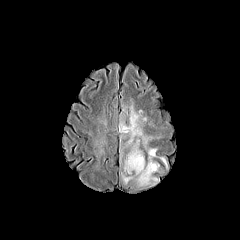
FLAIR MR.
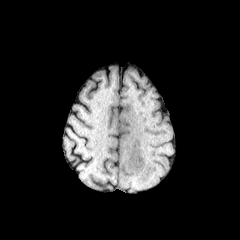
T1-weighted MR image.
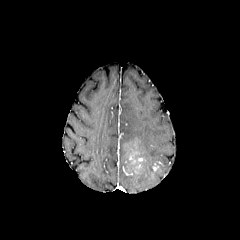
Post-contrast T1-weighted magnetic resonance.
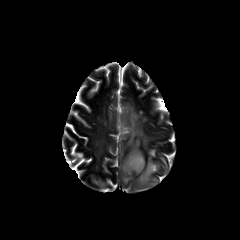
T2-weighted MR image.
Image size 240x240, Axial plane, Head
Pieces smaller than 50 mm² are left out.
<segmentation>
  <enhancing_tumor>127,139,143,173</enhancing_tumor>
  <peritumoral_edema>87,129,107,158; 119,98,168,188; 99,114,107,126</peritumoral_edema>
</segmentation>